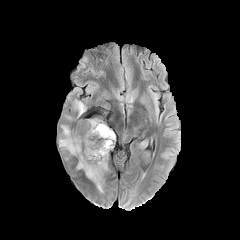
FLAIR MRI.
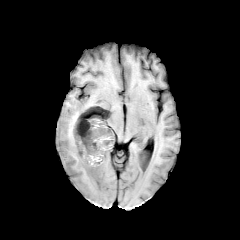
T1-weighted MR image.
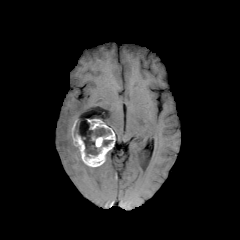
Same slice, post-contrast T1-weighted magnetic resonance.
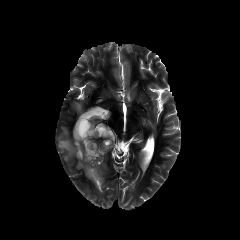
Same slice, T2-weighted MR image.
Axial plane
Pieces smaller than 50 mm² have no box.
peritumoral edema: [67,102,85,121], [59,125,78,156], [77,157,107,190]
necrotic tumor core: [102,140,112,146], [74,119,111,156]
enhancing tumor: [72,118,115,167]